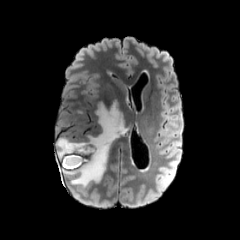
FLAIR MR.
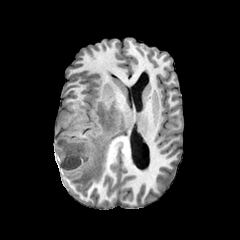
T1-weighted MR image.
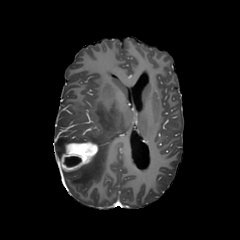
Post-contrast T1-weighted magnetic resonance of the same slice.
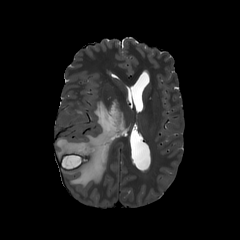
Same slice, T2-weighted magnetic resonance.
Brain.
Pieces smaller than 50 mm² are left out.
<segmentation>
  <peritumoral_edema>55 100 126 189</peritumoral_edema>
  <necrotic_tumor_core>64 156 81 166</necrotic_tumor_core>
  <enhancing_tumor>60 141 98 171</enhancing_tumor>
</segmentation>